Slice 136/155
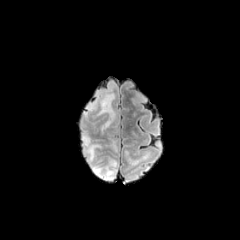
FLAIR MR image.
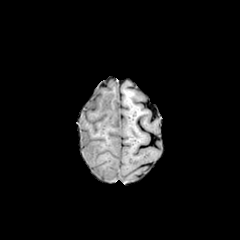
T1-weighted magnetic resonance of the same slice.
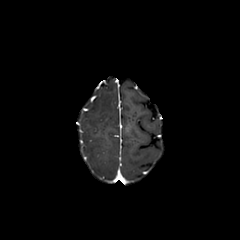
Post-contrast T1-weighted MR image of the same slice.
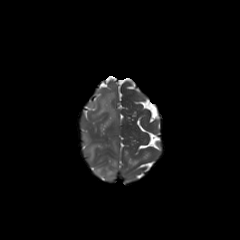
T2-weighted MRI.
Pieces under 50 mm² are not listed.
{"peritumoral_edema": ["(94, 92, 115, 130)", "(82, 134, 117, 179)"]}